240x240 px. Slice index 56.
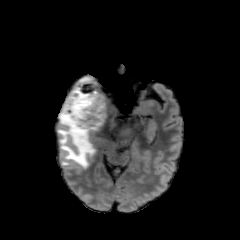
FLAIR MR image.
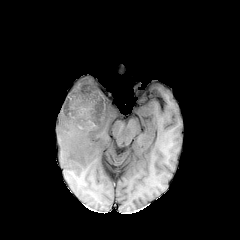
T1-weighted MR image.
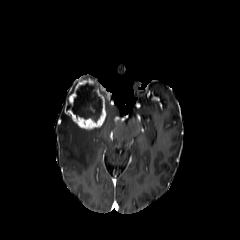
Post-contrast T1-weighted MRI.
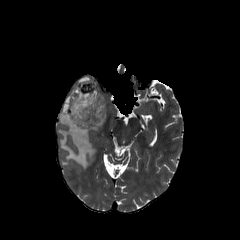
T2-weighted magnetic resonance.
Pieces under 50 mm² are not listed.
{"necrotic_tumor_core": ["66, 83, 102, 121"], "peritumoral_edema": ["58, 83, 117, 168"], "enhancing_tumor": ["64, 77, 106, 129"]}